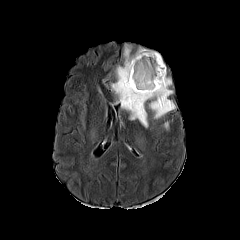
FLAIR magnetic resonance.
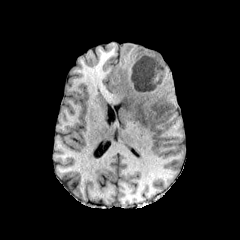
T1-weighted magnetic resonance.
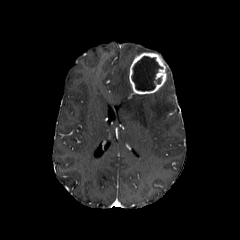
Same slice, post-contrast T1-weighted magnetic resonance.
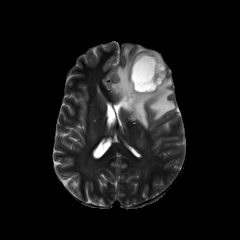
Same slice, T2-weighted magnetic resonance.
Axial plane.
peritumoral edema at bbox(162, 121, 169, 130); bbox(111, 44, 175, 128)
necrotic tumor core at bbox(132, 56, 162, 91)
enhancing tumor at bbox(129, 52, 166, 94)